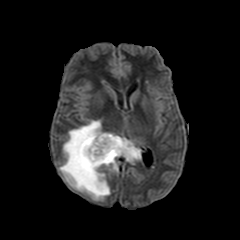
FLAIR MRI.
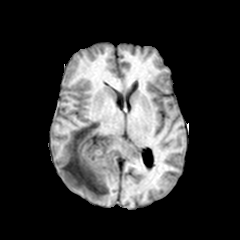
T1-weighted MR.
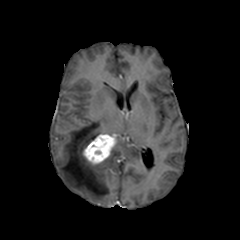
Post-contrast T1-weighted MR image.
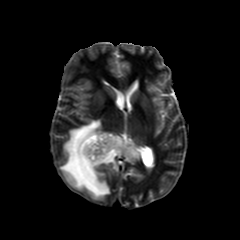
T2-weighted MR image of the same slice.
Axial view
<segmentation>
  <peritumoral_edema>59, 120, 141, 200</peritumoral_edema>
  <enhancing_tumor>82, 134, 117, 164</enhancing_tumor>
</segmentation>